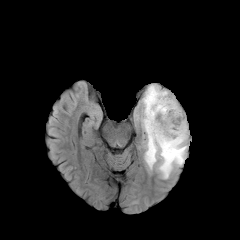
FLAIR MR image.
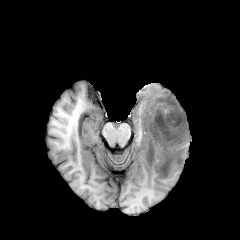
Same slice, T1-weighted MR.
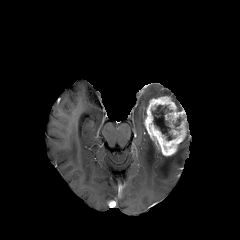
Post-contrast T1-weighted MRI.
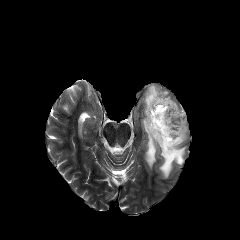
Same slice, T2-weighted MRI.
240x240 px, Axial slice
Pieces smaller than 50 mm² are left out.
{"enhancing_tumor": ["144, 96, 188, 156"], "necrotic_tumor_core": ["152, 105, 172, 140"], "peritumoral_edema": ["141, 84, 188, 179"]}